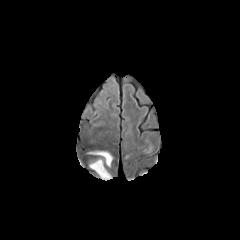
FLAIR magnetic resonance.
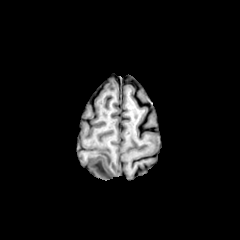
T1-weighted MRI.
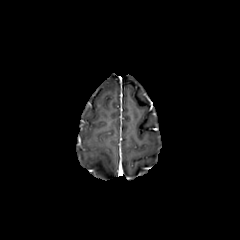
Post-contrast T1-weighted MRI.
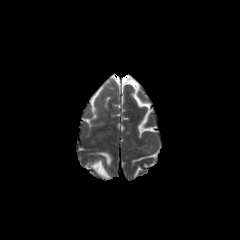
T2-weighted magnetic resonance of the same slice.
Axial view | Brain
peritumoral edema: [90, 152, 112, 166], [90, 159, 111, 178]